FLAIR MR.
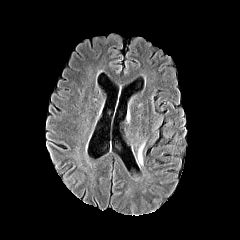
T1-weighted MR.
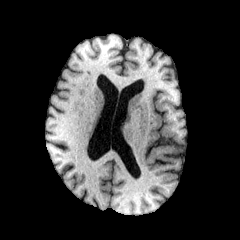
Post-contrast T1-weighted MR.
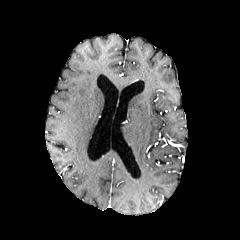
T2-weighted MR.
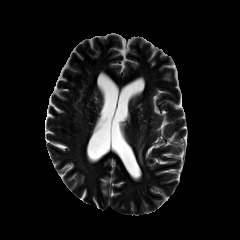
Head. Axial slice.
peritumoral_edema:
  - x1=138 y1=143 x2=144 y2=164